Image size 240x240 | Head | Axial slice
FLAIR MRI.
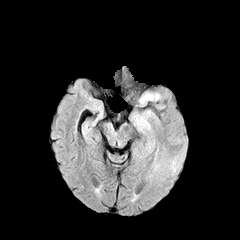
T1-weighted MRI.
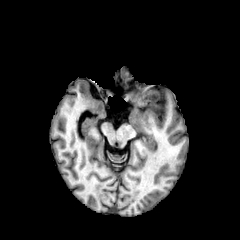
Post-contrast T1-weighted MR image.
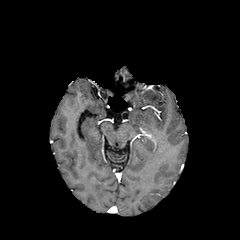
T2-weighted MR.
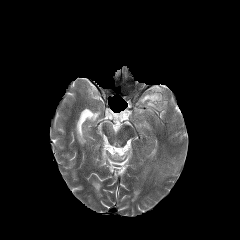
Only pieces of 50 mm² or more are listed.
peritumoral_edema:
  - {"x1": 136, "y1": 116, "x2": 149, "y2": 128}
  - {"x1": 140, "y1": 93, "x2": 160, "y2": 103}